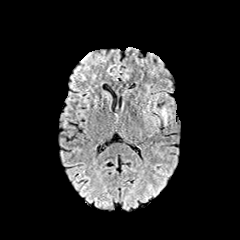
FLAIR MR.
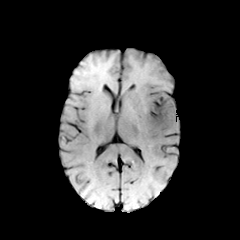
T1-weighted MRI.
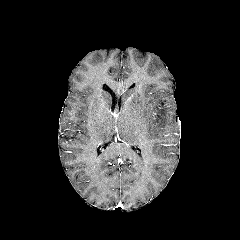
Same slice, post-contrast T1-weighted MRI.
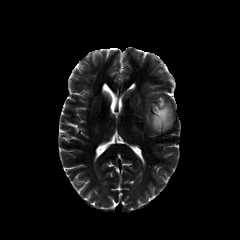
T2-weighted MR of the same slice.
Brain
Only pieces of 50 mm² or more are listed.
{
  "peritumoral_edema": [
    "(left=151, top=106, right=171, bottom=130)"
  ]
}